Axial plane
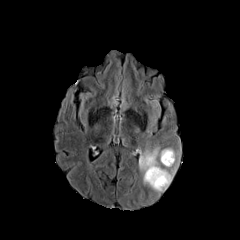
FLAIR MR.
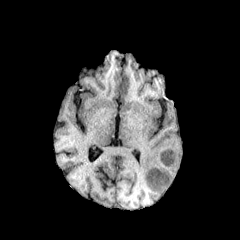
T1-weighted magnetic resonance.
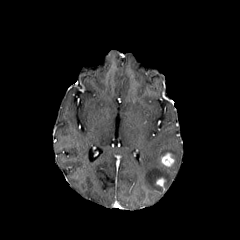
Post-contrast T1-weighted MR image.
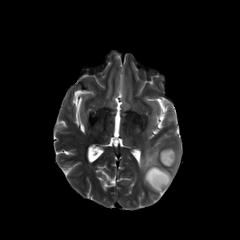
Same slice, T2-weighted magnetic resonance.
peritumoral_edema:
  - bbox(138, 146, 180, 195)
enhancing_tumor:
  - bbox(156, 177, 165, 186)
  - bbox(161, 152, 174, 166)